FLAIR MR image.
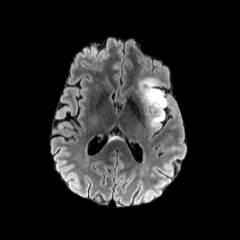
T1-weighted MR.
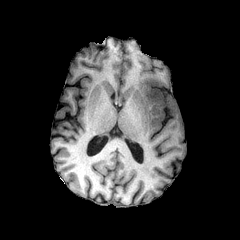
Post-contrast T1-weighted MR image.
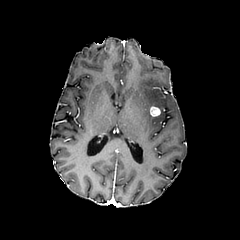
T2-weighted MR.
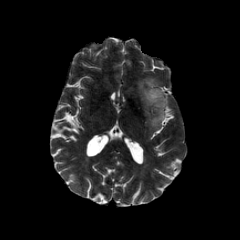
peritumoral edema: l=138, t=77, r=167, b=130 | enhancing tumor: l=150, t=106, r=160, b=116